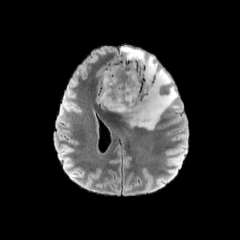
FLAIR magnetic resonance.
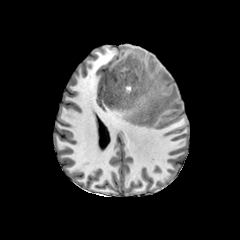
Same slice, T1-weighted MRI.
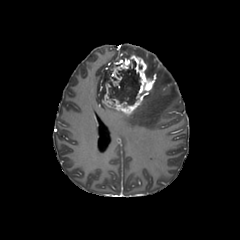
Post-contrast T1-weighted magnetic resonance.
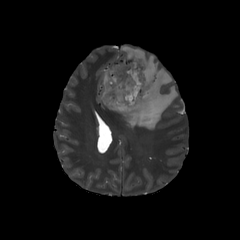
T2-weighted magnetic resonance.
Axial plane.
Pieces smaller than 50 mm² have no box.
The largest necrotic tumor core region appears at (109, 61, 140, 104). The 2 largest peritumoral edema regions appear at (100, 70, 110, 101), (121, 46, 179, 129). The largest enhancing tumor region is located at (102, 54, 154, 115).